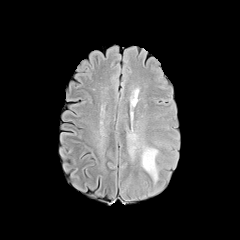
FLAIR MR.
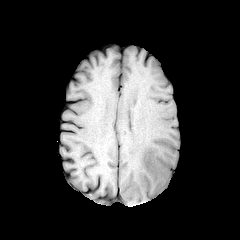
T1-weighted MRI.
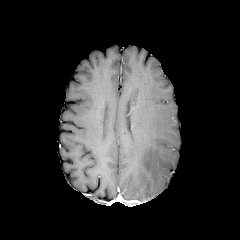
Same slice, post-contrast T1-weighted MR.
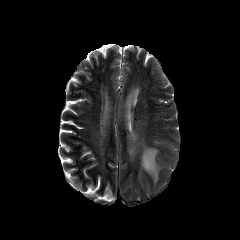
T2-weighted MRI.
Head. Image size 240x240. Axial view.
The peritumoral edema is at region(126, 132, 159, 182).